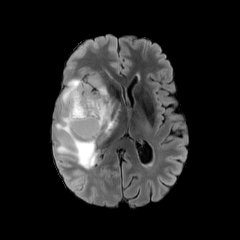
FLAIR magnetic resonance.
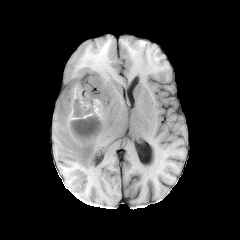
T1-weighted MRI of the same slice.
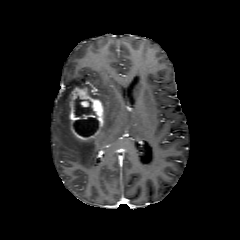
Post-contrast T1-weighted MR.
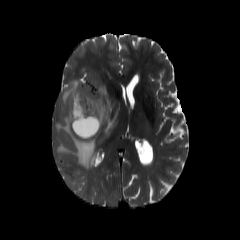
T2-weighted MR image.
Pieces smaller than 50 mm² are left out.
<segmentation>
  <necrotic_tumor_core>x1=73, y1=96, x2=98, y2=137</necrotic_tumor_core>
  <peritumoral_edema>x1=54, y1=77, x2=116, y2=168</peritumoral_edema>
  <enhancing_tumor>x1=69, y1=87, x2=104, y2=141</enhancing_tumor>
</segmentation>